FLAIR magnetic resonance.
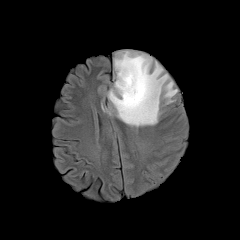
T1-weighted MR image.
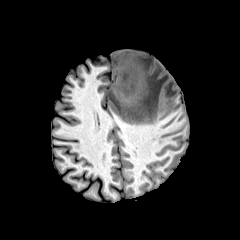
Post-contrast T1-weighted magnetic resonance.
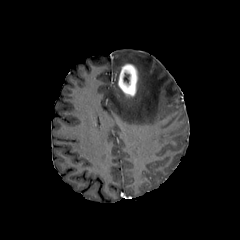
T2-weighted MRI.
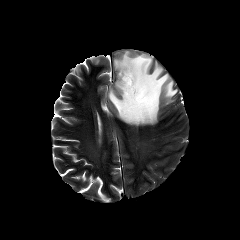
Axial plane.
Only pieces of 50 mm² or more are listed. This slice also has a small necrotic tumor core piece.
peritumoral edema at [100,50,177,126]
enhancing tumor at [118,63,138,96]